Axial slice; Slice index 98
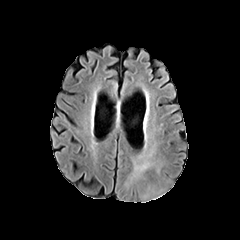
FLAIR MRI.
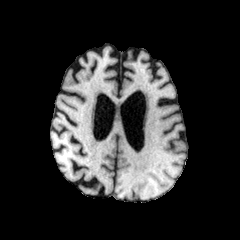
T1-weighted MR of the same slice.
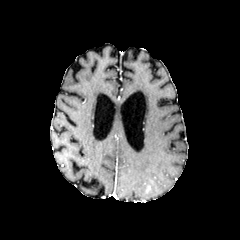
Post-contrast T1-weighted MRI.
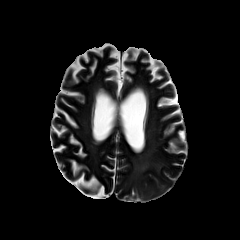
T2-weighted MR image.
Annotated regions:
- peritumoral edema: region(133, 157, 154, 169)